FLAIR MR image.
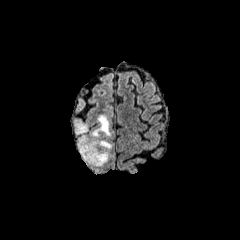
T1-weighted MR image.
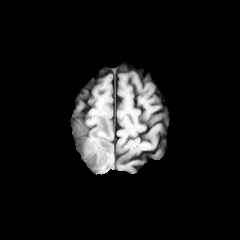
Post-contrast T1-weighted MR image.
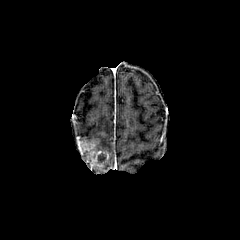
T2-weighted MR.
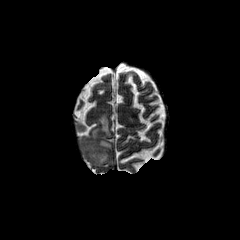
Brain; Axial slice
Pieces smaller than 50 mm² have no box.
* necrotic tumor core: 97,153,106,162
* enhancing tumor: 77,137,108,167
* peritumoral edema: 77,123,86,132; 99,140,111,149; 91,115,110,138